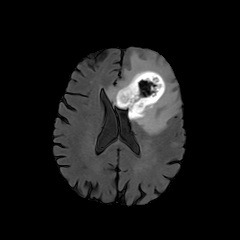
FLAIR MR image.
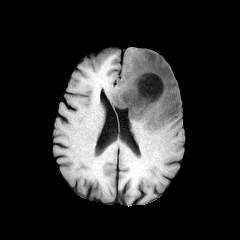
T1-weighted MR of the same slice.
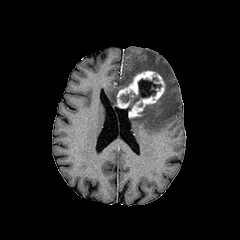
Post-contrast T1-weighted MR image.
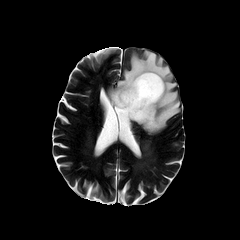
Same slice, T2-weighted magnetic resonance.
Head | Axial view
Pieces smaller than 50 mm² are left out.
The largest enhancing tumor region is at 116, 70, 164, 117. The largest necrotic tumor core region is bounded by 122, 77, 161, 110. The peritumoral edema lies within 107, 51, 180, 134.